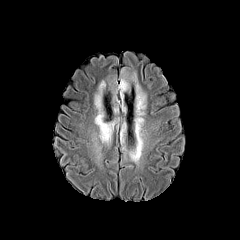
FLAIR MR.
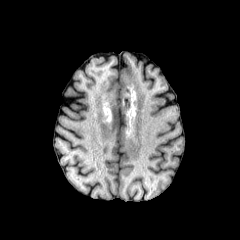
T1-weighted MR of the same slice.
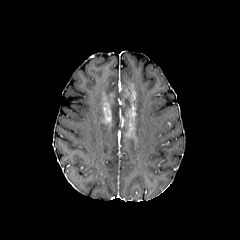
Same slice, post-contrast T1-weighted MR.
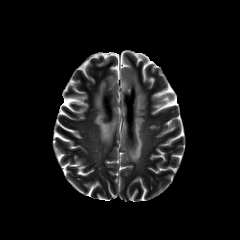
T2-weighted MR of the same slice.
240x240
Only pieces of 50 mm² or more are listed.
The largest peritumoral edema region appears at (94, 68, 146, 163).